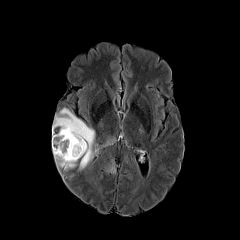
FLAIR MR.
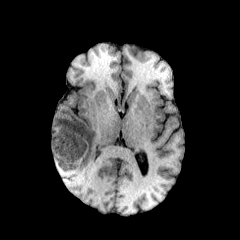
Same slice, T1-weighted MR image.
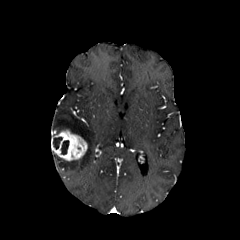
Same slice, post-contrast T1-weighted MR image.
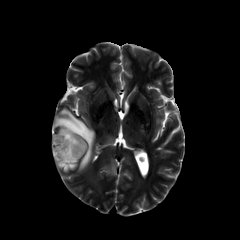
T2-weighted MR of the same slice.
Head
necrotic tumor core at bbox(53, 137, 62, 149); bbox(61, 140, 69, 154)
enhancing tumor at bbox(52, 129, 87, 160)
peritumoral edema at bbox(54, 154, 78, 170); bbox(53, 108, 95, 170)